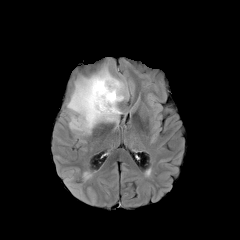
FLAIR magnetic resonance.
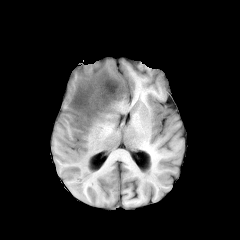
T1-weighted MR image.
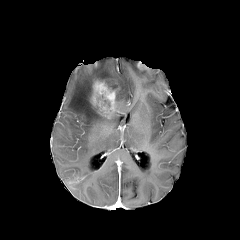
Post-contrast T1-weighted MR of the same slice.
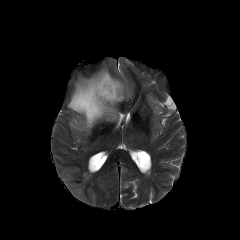
Same slice, T2-weighted magnetic resonance.
enhancing_tumor:
  - (90,79,119,117)
peritumoral_edema:
  - (67,59,128,134)